Slice 102/155 | Brain | Axial slice
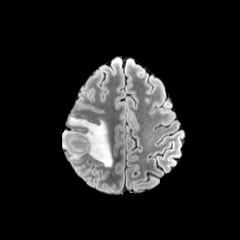
FLAIR MR image.
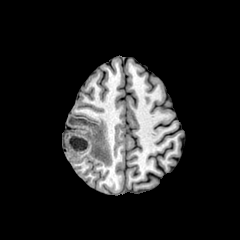
T1-weighted MRI.
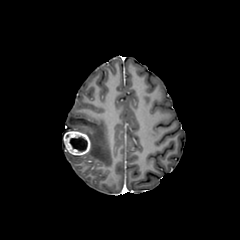
Post-contrast T1-weighted magnetic resonance of the same slice.
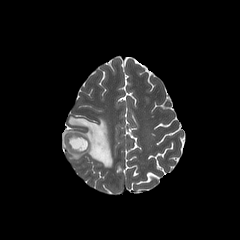
T2-weighted MRI.
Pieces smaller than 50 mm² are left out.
enhancing tumor: <box>63,130,91,155</box>
necrotic tumor core: <box>68,136,87,151</box>
peritumoral edema: <box>62,115,112,167</box>, <box>66,151,83,161</box>